FLAIR MRI.
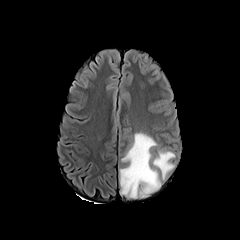
T1-weighted MR image.
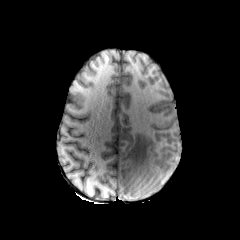
Post-contrast T1-weighted MR.
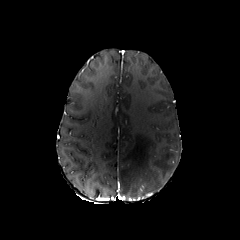
T2-weighted MR image.
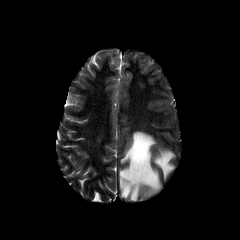
Head, Axial slice
The peritumoral edema is at region(119, 132, 175, 197).